FLAIR MRI.
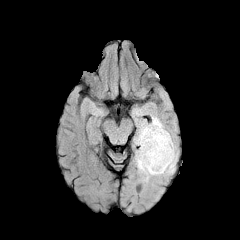
T1-weighted magnetic resonance.
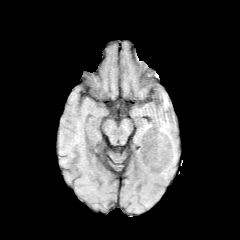
Post-contrast T1-weighted MRI.
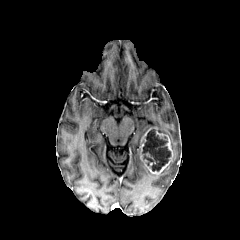
T2-weighted MRI.
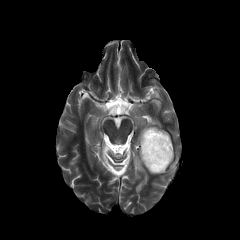
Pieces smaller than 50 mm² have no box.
<segmentation>
  <peritumoral_edema>bbox=[135, 148, 154, 180]; bbox=[136, 116, 177, 173]</peritumoral_edema>
  <enhancing_tumor>bbox=[140, 127, 173, 174]</enhancing_tumor>
  <necrotic_tumor_core>bbox=[142, 129, 170, 171]</necrotic_tumor_core>
</segmentation>